Head. Slice 102/155. Axial slice.
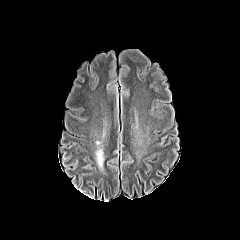
FLAIR MR.
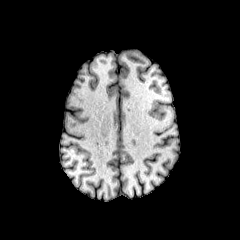
T1-weighted MR image of the same slice.
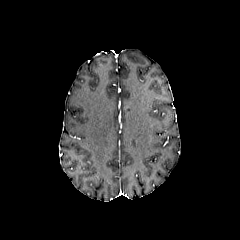
Post-contrast T1-weighted MRI.
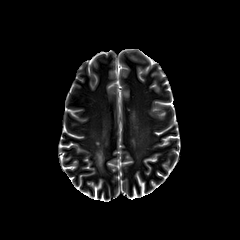
T2-weighted MRI.
{
  "peritumoral_edema": [
    "<box>96,149,103,167</box>"
  ]
}